FLAIR MR image.
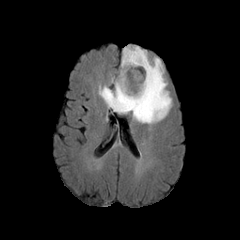
T1-weighted MR.
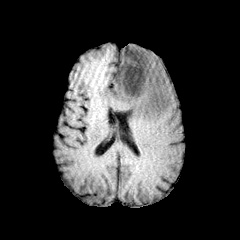
Post-contrast T1-weighted MR image.
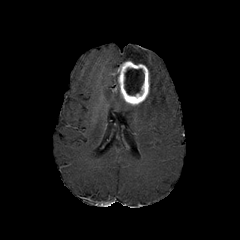
T2-weighted MRI.
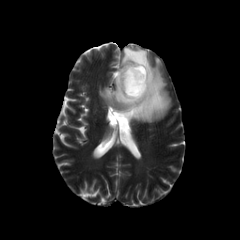
Axial view. Head.
necrotic tumor core: box(124, 68, 144, 95) | peritumoral edema: box(111, 73, 116, 88); box(99, 45, 171, 123) | enhancing tumor: box(115, 60, 149, 105)